FLAIR MRI.
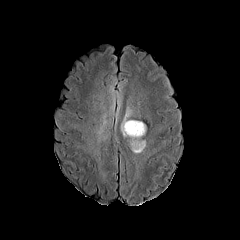
T1-weighted MRI.
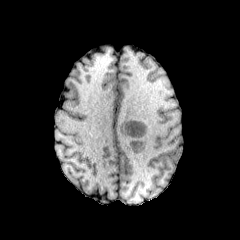
Post-contrast T1-weighted magnetic resonance.
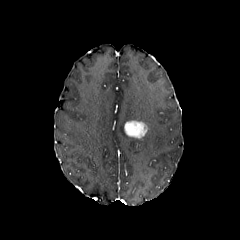
T2-weighted MR.
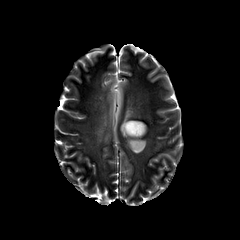
Brain
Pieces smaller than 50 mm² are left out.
enhancing tumor at box=[124, 120, 147, 138]
peritumoral edema at box=[120, 107, 146, 153]; box=[116, 93, 121, 121]; box=[109, 84, 116, 111]; box=[98, 113, 108, 134]